FLAIR MRI.
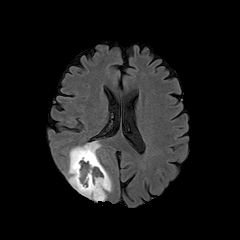
T1-weighted MR image.
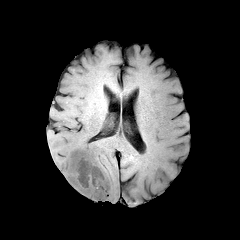
Post-contrast T1-weighted magnetic resonance.
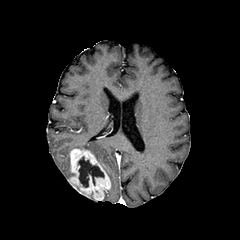
T2-weighted magnetic resonance.
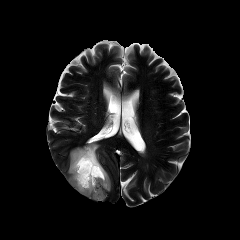
Head. 240x240 px. Axial view.
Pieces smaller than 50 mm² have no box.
{"peritumoral_edema": ["bbox=[70, 141, 100, 162]", "bbox=[67, 152, 74, 179]"], "enhancing_tumor": ["bbox=[69, 149, 110, 200]"], "necrotic_tumor_core": ["bbox=[78, 156, 104, 187]"]}